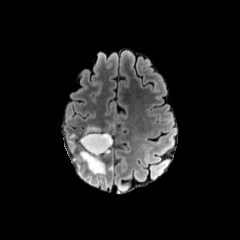
FLAIR MR.
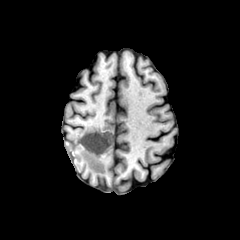
T1-weighted MRI.
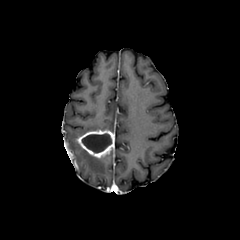
Post-contrast T1-weighted magnetic resonance of the same slice.
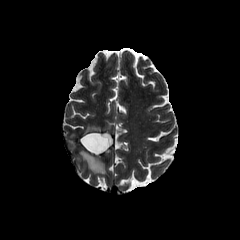
T2-weighted magnetic resonance.
Brain; Image size 240x240
{"peritumoral_edema": ["bbox(80, 150, 105, 173)", "bbox(85, 126, 100, 132)"], "necrotic_tumor_core": ["bbox(82, 133, 111, 152)"], "enhancing_tumor": ["bbox(78, 130, 113, 158)"]}